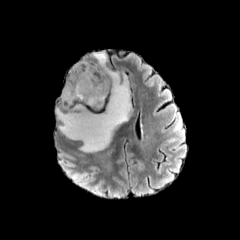
FLAIR magnetic resonance.
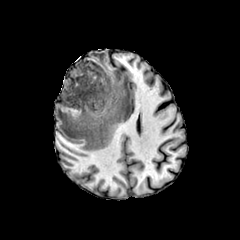
T1-weighted MRI.
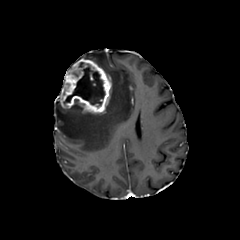
Post-contrast T1-weighted MR.
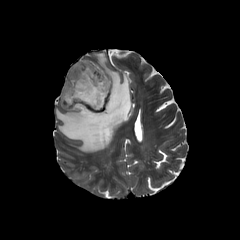
T2-weighted MRI.
Head. 240x240 px.
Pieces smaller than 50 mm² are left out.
<segmentation>
  <peritumoral_edema>[x1=56, y1=52, x2=131, y2=152]</peritumoral_edema>
  <enhancing_tumor>[x1=59, y1=58, x2=111, y2=113]</enhancing_tumor>
  <necrotic_tumor_core>[x1=63, y1=66, x2=104, y2=105]</necrotic_tumor_core>
</segmentation>